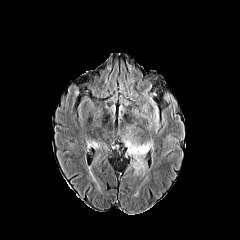
FLAIR MR image.
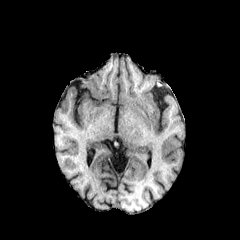
Same slice, T1-weighted magnetic resonance.
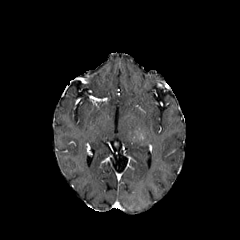
Post-contrast T1-weighted MR image.
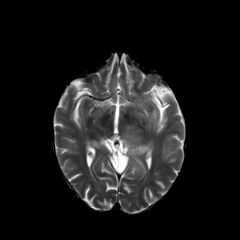
T2-weighted MR.
Image size 240x240
Segmented structures:
• peritumoral edema: region(85, 139, 99, 149); region(123, 138, 154, 174)